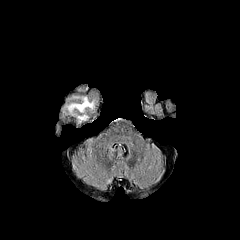
FLAIR MR.
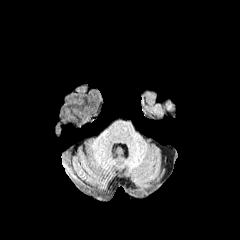
T1-weighted MR of the same slice.
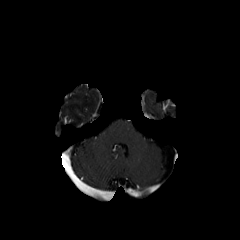
Post-contrast T1-weighted MRI of the same slice.
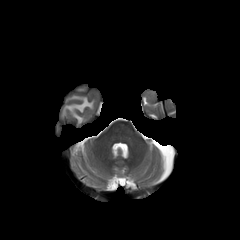
T2-weighted MR image.
240x240 px.
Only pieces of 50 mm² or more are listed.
• peritumoral edema: (67, 97, 93, 112)